FLAIR MR image.
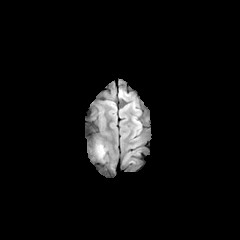
T1-weighted MR image.
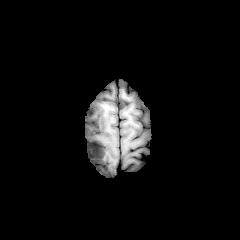
Post-contrast T1-weighted MR image.
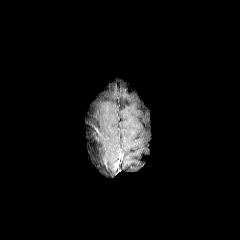
T2-weighted magnetic resonance.
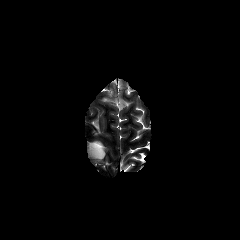
240x240 px; Head
<segmentation>
  <peritumoral_edema>91, 142, 105, 159</peritumoral_edema>
</segmentation>